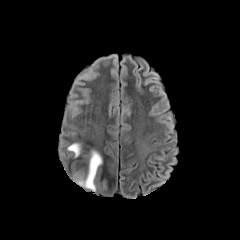
FLAIR MR image.
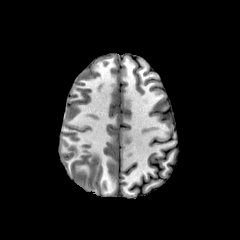
T1-weighted MR.
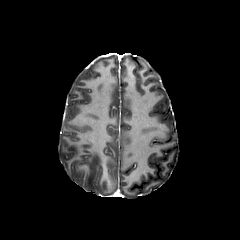
Post-contrast T1-weighted MR image.
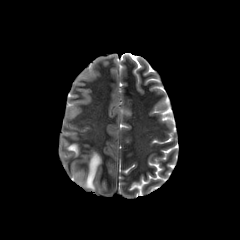
T2-weighted magnetic resonance.
Brain
peritumoral_edema:
  - 73 151 102 191
  - 67 143 80 156